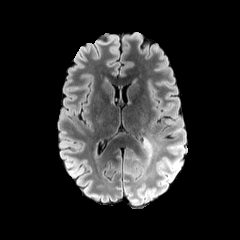
FLAIR MR.
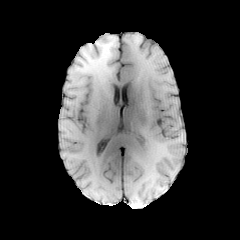
T1-weighted magnetic resonance of the same slice.
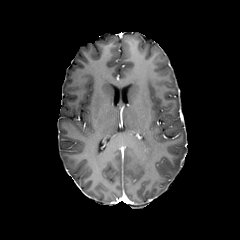
Same slice, post-contrast T1-weighted MR image.
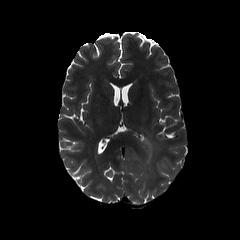
T2-weighted MRI.
Brain. Axial plane.
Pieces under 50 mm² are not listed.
<segmentation>
  <peritumoral_edema>region(157, 162, 165, 175); region(125, 138, 153, 174)</peritumoral_edema>
</segmentation>